FLAIR MR.
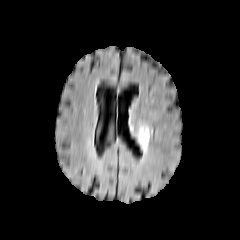
T1-weighted MRI.
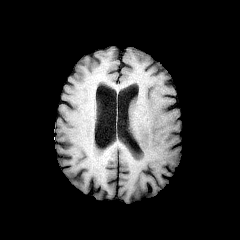
Post-contrast T1-weighted MRI.
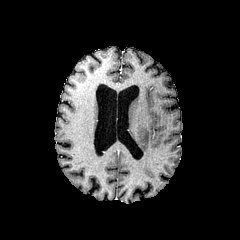
T2-weighted MR image.
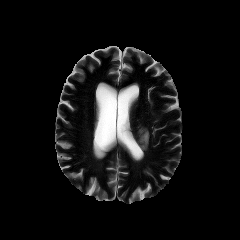
Image size 240x240 | Head
Annotated regions:
- peritumoral edema: [x1=137, y1=125, x2=149, y2=151]